Image width 240 mm. Head. 240x240 px.
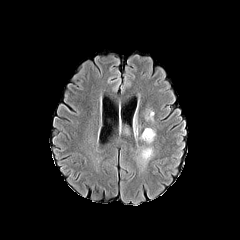
FLAIR MR image.
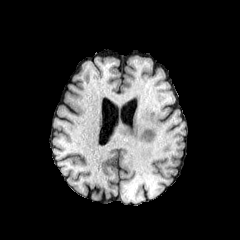
Same slice, T1-weighted MR image.
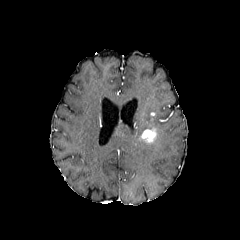
Post-contrast T1-weighted MRI.
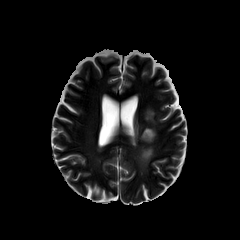
T2-weighted MRI of the same slice.
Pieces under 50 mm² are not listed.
Segmented structures:
• peritumoral edema: (145,108,153,121), (137,145,154,168), (133,123,138,140)
• enhancing tumor: (140,128,156,143)